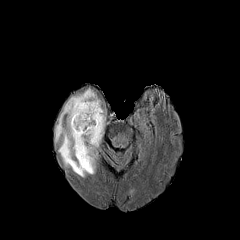
FLAIR MR image.
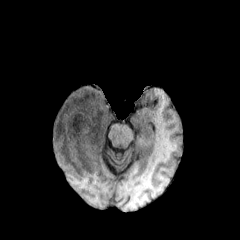
T1-weighted magnetic resonance.
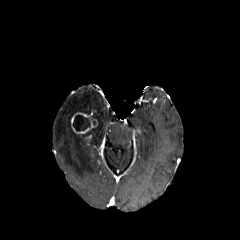
Post-contrast T1-weighted MR image.
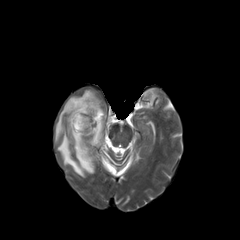
T2-weighted magnetic resonance.
Axial plane
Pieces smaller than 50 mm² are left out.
peritumoral edema: box=[55, 88, 105, 177] | enhancing tumor: box=[71, 112, 97, 133] | necrotic tumor core: box=[73, 115, 90, 131]